Image covers 240 mm x 240 mm, 240x240 px, Slice 94/155
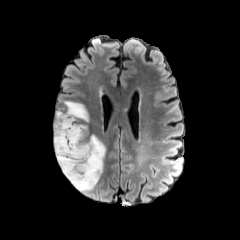
FLAIR MR.
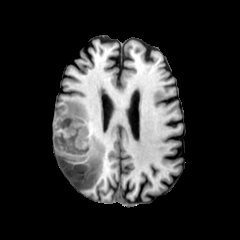
T1-weighted magnetic resonance.
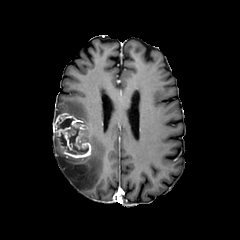
Post-contrast T1-weighted MR image.
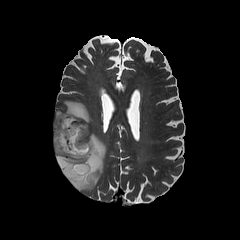
T2-weighted MR.
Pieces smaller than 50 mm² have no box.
enhancing tumor — 54,113,91,158
necrotic tumor core — 57,115,88,154; 59,132,66,147
peritumoral edema — 54,100,105,192